FLAIR MR.
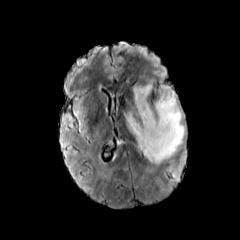
T1-weighted magnetic resonance.
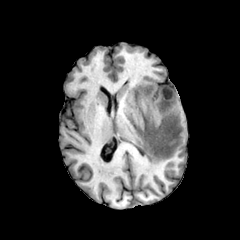
Post-contrast T1-weighted MRI.
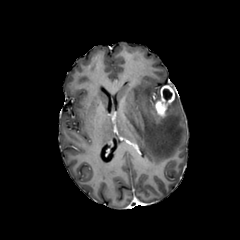
T2-weighted MR.
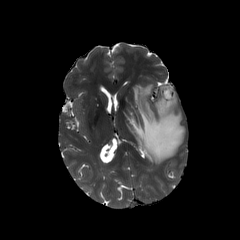
Image size 240x240
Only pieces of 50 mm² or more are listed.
The enhancing tumor is located at bbox(154, 85, 174, 117). The largest peritumoral edema region appears at bbox(125, 84, 185, 164). The necrotic tumor core is bounded by bbox(163, 89, 171, 100).